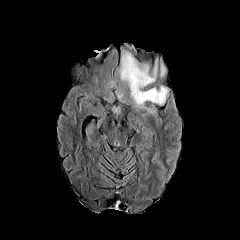
FLAIR MRI.
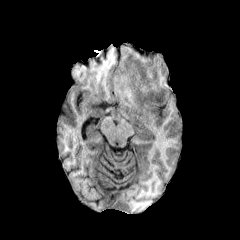
T1-weighted MRI.
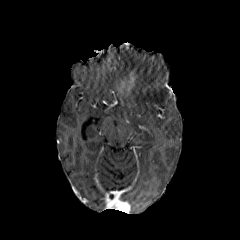
Post-contrast T1-weighted MR image of the same slice.
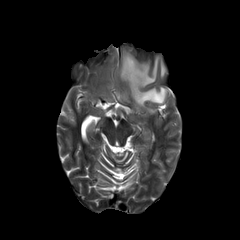
T2-weighted MR.
Axial plane; Head
enhancing_tumor:
  - [127, 70, 136, 88]
peritumoral_edema:
  - [89, 69, 100, 84]
  - [160, 56, 167, 78]
  - [119, 47, 169, 114]